Image size 240x240 | Slice 100 of 155 | Axial view
FLAIR magnetic resonance.
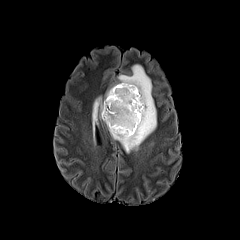
T1-weighted MR.
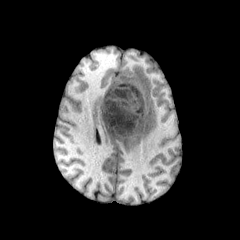
Post-contrast T1-weighted MR.
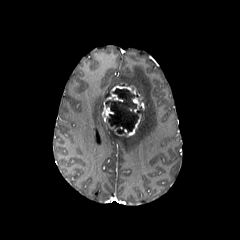
T2-weighted MR.
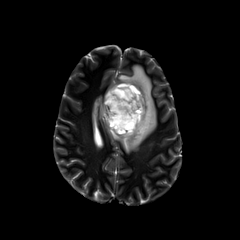
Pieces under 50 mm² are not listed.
Segmented structures:
* peritumoral edema: [92,96,103,127], [107,64,156,153]
* necrotic tumor core: [105,88,142,134]
* enhancing tumor: [102,84,144,136]